Axial slice | Image size 240x240 | Slice index 87
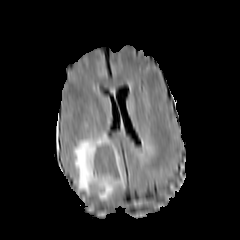
FLAIR MR image.
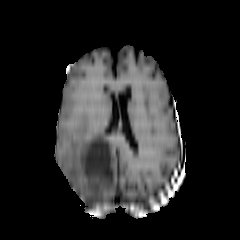
Same slice, T1-weighted MRI.
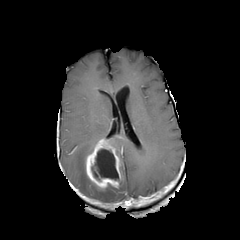
Post-contrast T1-weighted magnetic resonance.
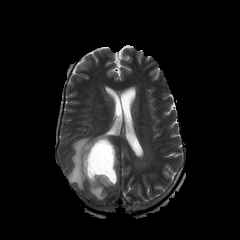
T2-weighted MR image.
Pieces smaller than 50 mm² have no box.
enhancing_tumor:
  - x1=85, y1=138, x2=121, y2=189
necrotic_tumor_core:
  - x1=91, y1=149, x2=119, y2=180
peritumoral_edema:
  - x1=72, y1=133, x2=116, y2=201
  - x1=119, y1=167, x2=124, y2=187